FLAIR MR.
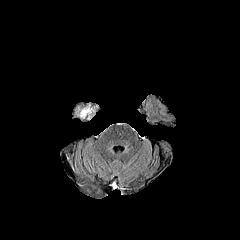
T1-weighted MR image.
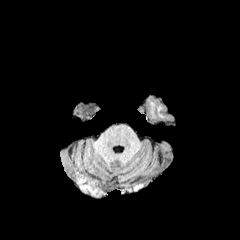
Post-contrast T1-weighted MR image.
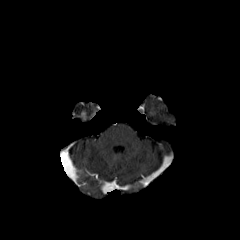
T2-weighted MR.
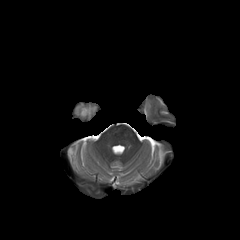
Axial plane, Brain, 240x240 px
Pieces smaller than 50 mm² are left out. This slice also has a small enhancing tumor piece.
* peritumoral edema: (x1=77, y1=105, x2=95, y2=118)